Slice index 51. Axial slice.
FLAIR MR image.
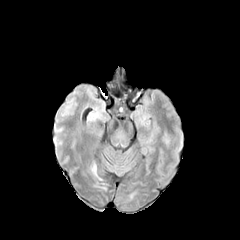
T1-weighted magnetic resonance.
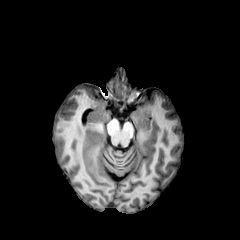
Post-contrast T1-weighted MR image.
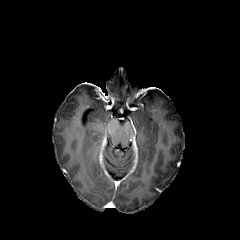
T2-weighted MR image.
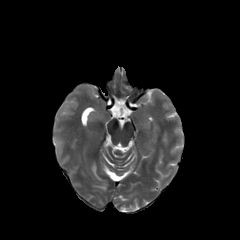
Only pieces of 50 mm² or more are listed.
peritumoral edema — rect(92, 164, 101, 180)